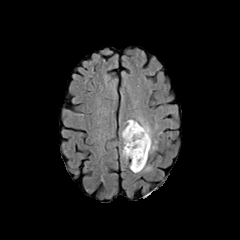
FLAIR MRI.
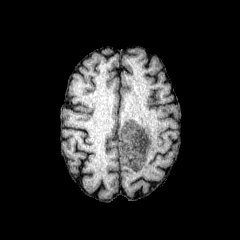
T1-weighted MRI of the same slice.
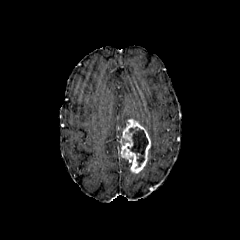
Post-contrast T1-weighted MRI.
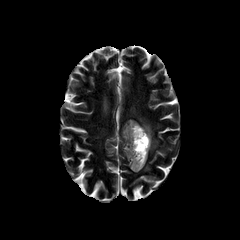
T2-weighted MR image.
240x240 px. Axial view.
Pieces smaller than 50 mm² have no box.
necrotic tumor core: <box>129,127,148,166</box> | enhancing tumor: <box>121,119,150,173</box> | peritumoral edema: <box>137,117,157,152</box>